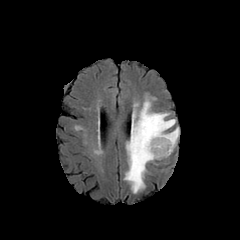
FLAIR MR.
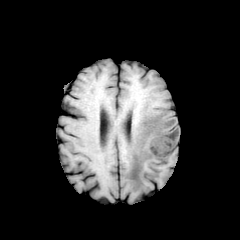
T1-weighted MRI.
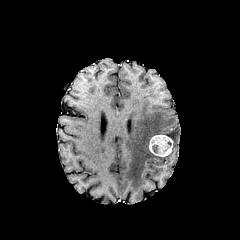
Same slice, post-contrast T1-weighted MR image.
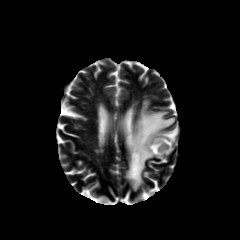
T2-weighted MR image.
Axial plane
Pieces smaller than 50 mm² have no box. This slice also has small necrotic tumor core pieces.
peritumoral edema: left=124, top=98, right=179, bottom=193 | enhancing tumor: left=148, top=134, right=173, bottom=157